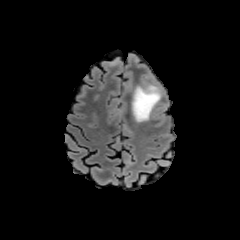
FLAIR MR image.
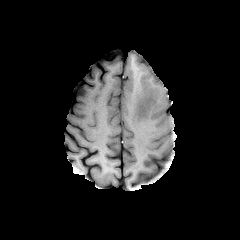
T1-weighted MR image of the same slice.
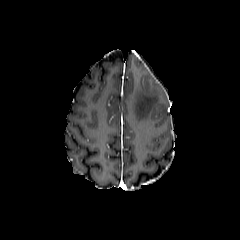
Post-contrast T1-weighted magnetic resonance.
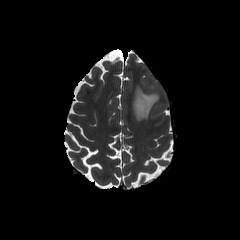
Same slice, T2-weighted magnetic resonance.
The peritumoral edema is located at l=132, t=85, r=160, b=121.